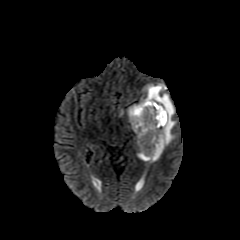
FLAIR MR image.
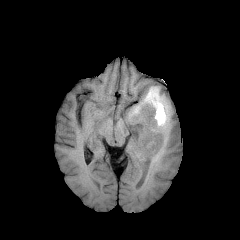
Same slice, T1-weighted MR image.
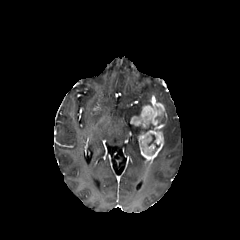
Post-contrast T1-weighted MR image of the same slice.
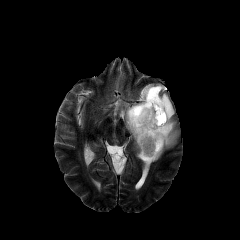
T2-weighted MRI.
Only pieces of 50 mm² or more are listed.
The enhancing tumor is at x1=130, y1=95, x2=166, y2=161. The largest necrotic tumor core region lies within x1=156, y1=113, x2=166, y2=124. The largest peritumoral edema region appears at x1=126, y1=83, x2=178, y2=162.